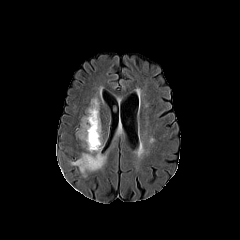
FLAIR MR.
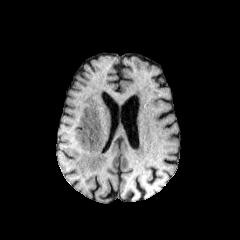
T1-weighted MR.
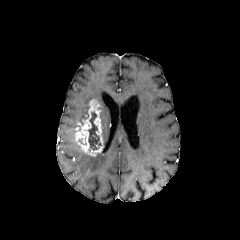
Post-contrast T1-weighted MR.
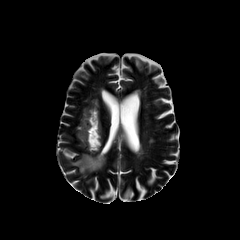
T2-weighted MRI.
Axial plane
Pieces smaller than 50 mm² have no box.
{
  "necrotic_tumor_core": [
    "rect(88, 112, 101, 151)"
  ],
  "peritumoral_edema": [
    "rect(71, 153, 106, 177)"
  ],
  "enhancing_tumor": [
    "rect(76, 100, 102, 156)"
  ]
}